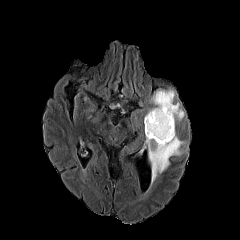
FLAIR MR.
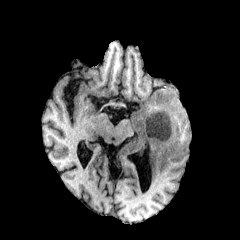
T1-weighted magnetic resonance.
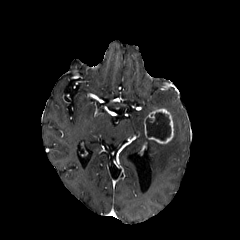
Same slice, post-contrast T1-weighted magnetic resonance.
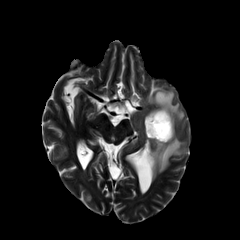
T2-weighted magnetic resonance.
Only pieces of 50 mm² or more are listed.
The largest peritumoral edema region is located at 146, 90, 184, 183. The enhancing tumor is bounded by 144, 108, 174, 144. The necrotic tumor core is bounded by 146, 112, 170, 140.